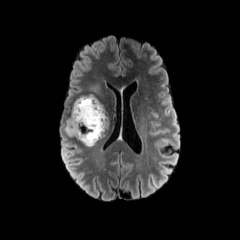
FLAIR MRI.
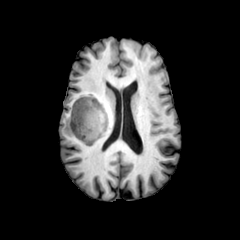
T1-weighted magnetic resonance.
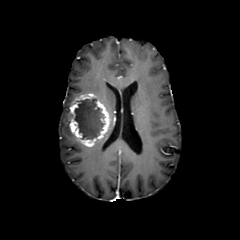
Post-contrast T1-weighted MRI.
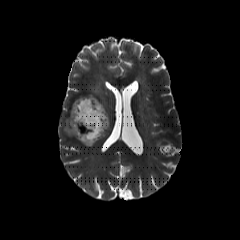
T2-weighted MR image.
240x240 px. Axial slice.
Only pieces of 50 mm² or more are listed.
enhancing tumor: 69 93 109 146 | peritumoral edema: 88 85 101 93, 64 117 74 136 | necrotic tumor core: 74 98 104 140